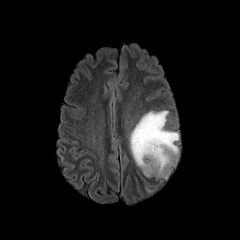
FLAIR MR image.
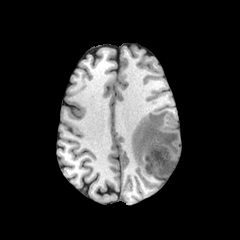
T1-weighted magnetic resonance.
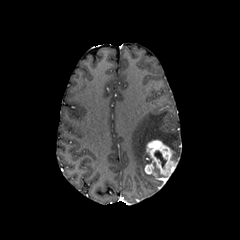
Post-contrast T1-weighted MR image of the same slice.
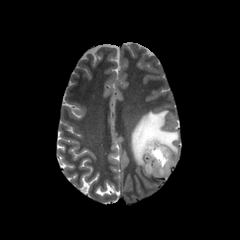
T2-weighted magnetic resonance.
240x240, Head
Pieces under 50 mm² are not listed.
necrotic tumor core: x1=154 y1=151 x2=166 y2=167
enhancing tumor: x1=144 y1=139 x2=177 y2=181
peritumoral edema: x1=130 y1=110 x2=178 y2=170